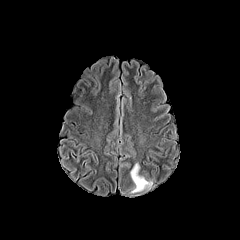
FLAIR MRI.
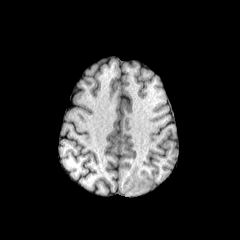
T1-weighted MRI.
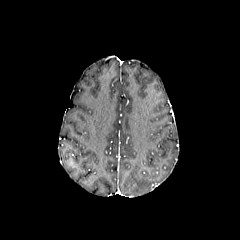
Same slice, post-contrast T1-weighted MRI.
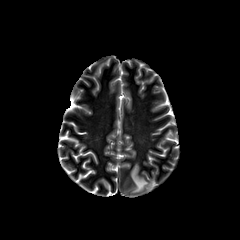
T2-weighted magnetic resonance of the same slice.
Brain
peritumoral edema = [130,163,152,193]